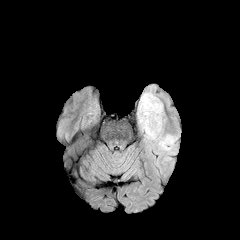
FLAIR MR image.
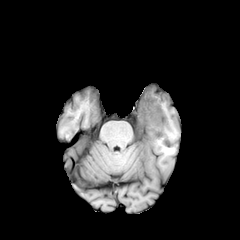
T1-weighted MR image of the same slice.
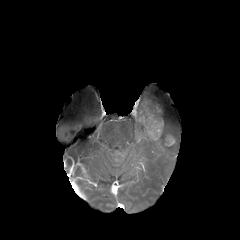
Post-contrast T1-weighted MRI.
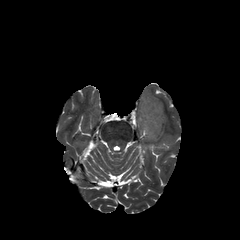
T2-weighted magnetic resonance of the same slice.
240x240 px, Axial view
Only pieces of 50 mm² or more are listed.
The largest peritumoral edema region is located at bbox(137, 89, 176, 148). The largest enhancing tumor region appears at bbox(137, 100, 163, 140).